Image size 240x240, Image width 240 mm, Axial plane, Slice 110 of 155
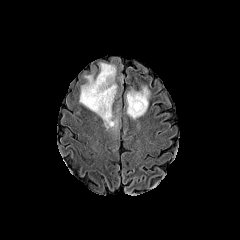
FLAIR MR image.
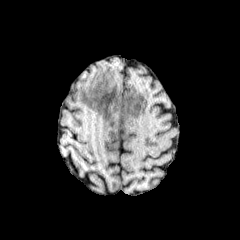
T1-weighted MRI of the same slice.
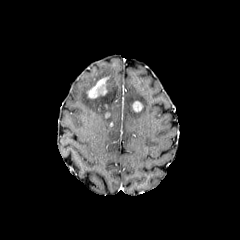
Post-contrast T1-weighted MR image of the same slice.
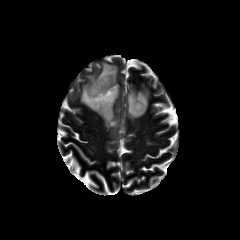
T2-weighted magnetic resonance of the same slice.
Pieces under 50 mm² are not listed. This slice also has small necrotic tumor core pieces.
2 peritumoral edema regions are bounded by x1=79 y1=63 x2=118 y2=130, x1=126 y1=86 x2=150 y2=119. The 2 largest enhancing tumor regions appear at x1=87 y1=77 x2=108 y2=98, x1=132 y1=101 x2=143 y2=112.